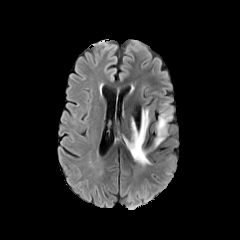
FLAIR MRI.
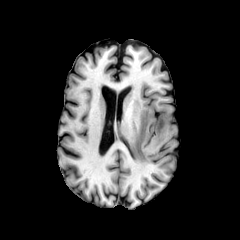
T1-weighted magnetic resonance of the same slice.
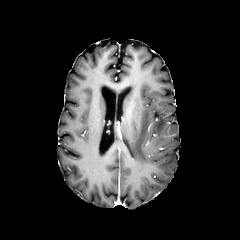
Post-contrast T1-weighted MRI.
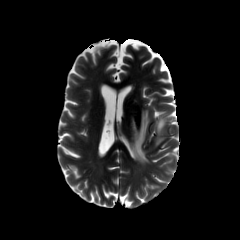
Same slice, T2-weighted MR.
Brain
peritumoral edema at (left=125, top=109, right=150, bottom=166), (left=154, top=109, right=172, bottom=147)